Slice 128 of 155 | Axial view
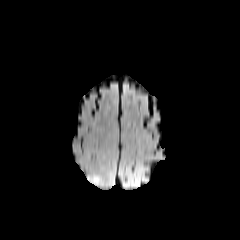
FLAIR MR.
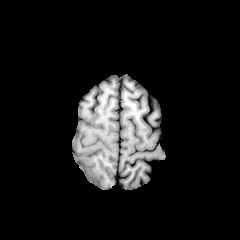
T1-weighted MRI of the same slice.
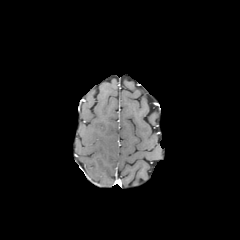
Post-contrast T1-weighted MR of the same slice.
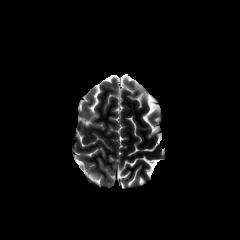
T2-weighted MRI of the same slice.
The peritumoral edema is bounded by rect(90, 174, 101, 183).